FLAIR MR image.
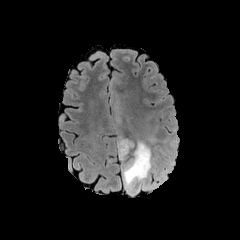
T1-weighted MR.
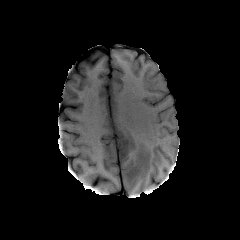
Post-contrast T1-weighted MR.
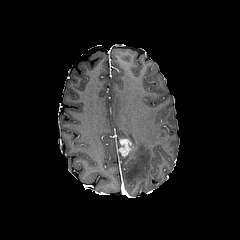
T2-weighted magnetic resonance.
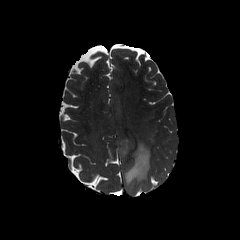
Axial plane
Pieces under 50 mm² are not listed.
The enhancing tumor appears at [119, 139, 133, 156]. The 2 largest peritumoral edema regions are located at [156, 171, 163, 182], [118, 141, 156, 194].